FLAIR MR.
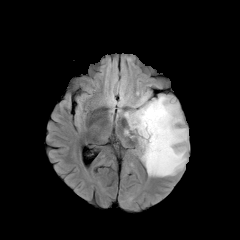
T1-weighted MR image.
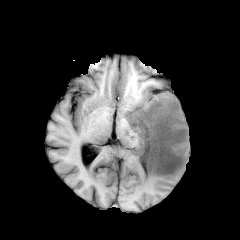
Post-contrast T1-weighted MR.
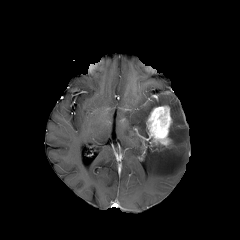
T2-weighted magnetic resonance.
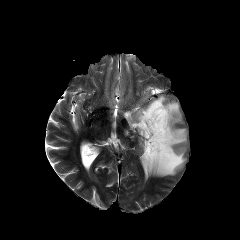
Head
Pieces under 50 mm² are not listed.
The largest peritumoral edema region appears at region(123, 93, 188, 176). The enhancing tumor is located at region(146, 105, 172, 147).